FLAIR MR image.
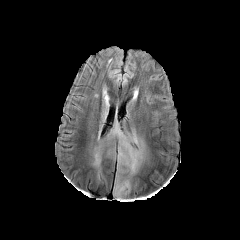
T1-weighted magnetic resonance.
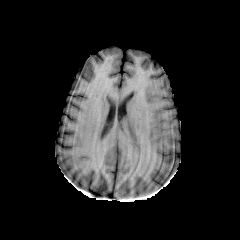
Post-contrast T1-weighted magnetic resonance.
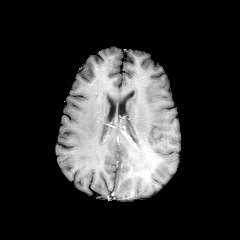
T2-weighted MR.
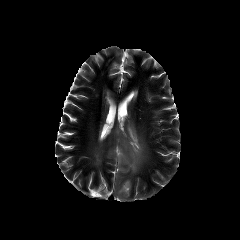
240x240 px | Brain
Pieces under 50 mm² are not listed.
{"peritumoral_edema": ["x1=113, y1=126, x2=142, y2=172"]}